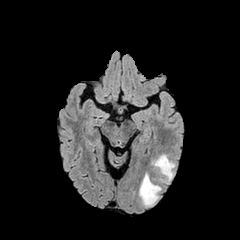
FLAIR MR image.
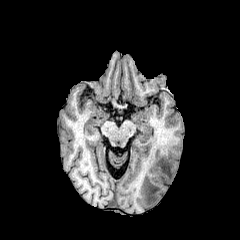
T1-weighted magnetic resonance of the same slice.
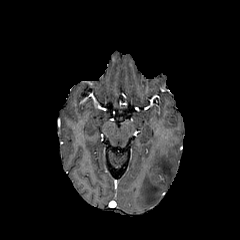
Post-contrast T1-weighted MR.
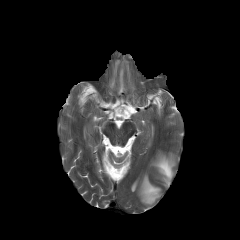
Same slice, T2-weighted MR.
240x240.
<segmentation>
  <peritumoral_edema>box(151, 154, 175, 183); box(139, 173, 161, 205)</peritumoral_edema>
</segmentation>